FLAIR MRI.
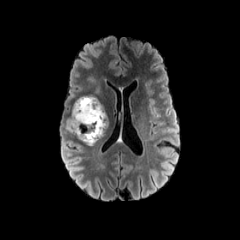
T1-weighted MR image.
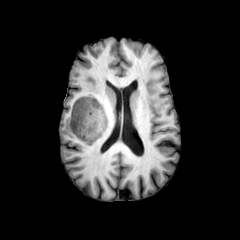
Post-contrast T1-weighted magnetic resonance.
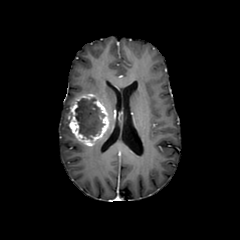
T2-weighted MR image.
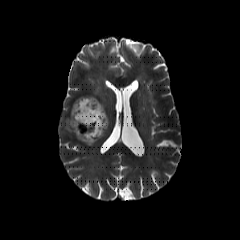
Head.
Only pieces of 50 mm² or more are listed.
• necrotic tumor core: x1=75, y1=98, x2=104, y2=141
• peritumoral edema: x1=65, y1=119, x2=73, y2=134
• enhancing tumor: x1=68, y1=95, x2=109, y2=146